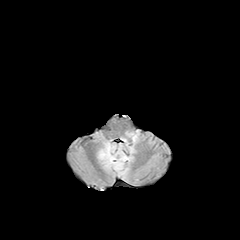
FLAIR magnetic resonance.
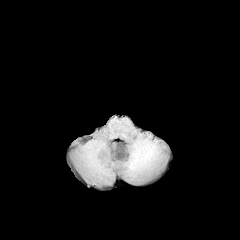
T1-weighted magnetic resonance.
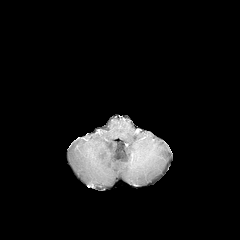
Post-contrast T1-weighted MR.
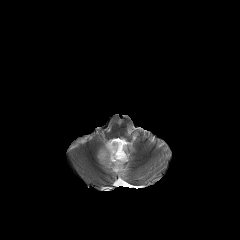
Same slice, T2-weighted MR image.
Brain
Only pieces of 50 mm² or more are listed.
{
  "peritumoral_edema": [
    "<box>97,141,131,177</box>"
  ]
}